FLAIR MRI.
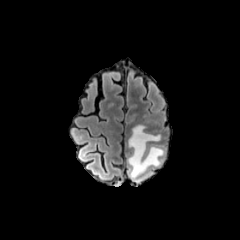
T1-weighted MR.
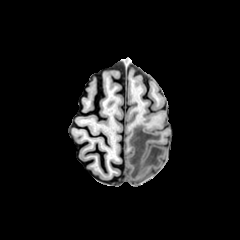
Post-contrast T1-weighted MRI.
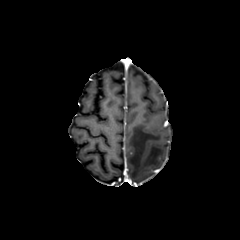
T2-weighted MRI.
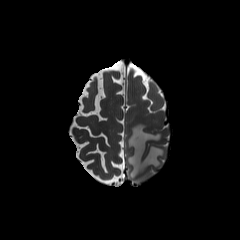
Brain
peritumoral_edema:
  - left=127, top=124, right=165, bottom=182